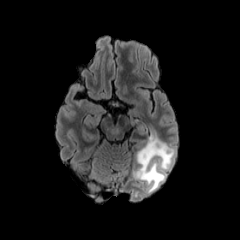
FLAIR MR image.
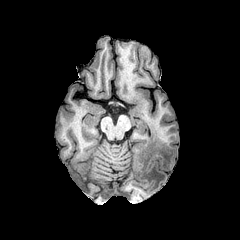
T1-weighted MR image.
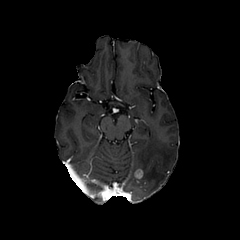
Post-contrast T1-weighted MR.
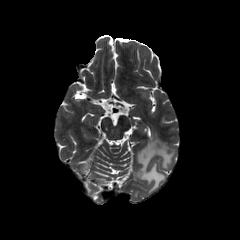
T2-weighted MR image.
Image size 240x240.
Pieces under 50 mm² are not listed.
peritumoral_edema:
  - <bbox>137, 134, 175, 194</bbox>
enhancing_tumor:
  - <bbox>135, 169, 143, 178</bbox>